FLAIR MR image.
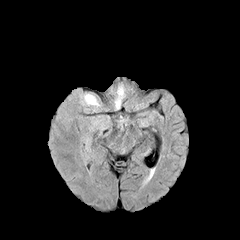
T1-weighted MRI.
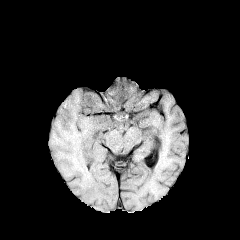
Post-contrast T1-weighted MR.
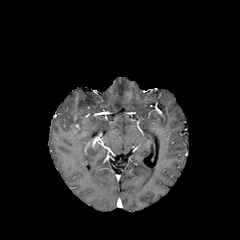
T2-weighted MR.
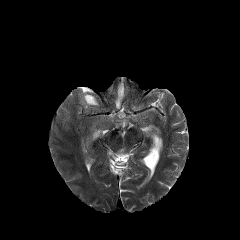
Brain, Axial slice
peritumoral_edema:
  - <box>84,94,98,105</box>
  - <box>115,84,124,108</box>